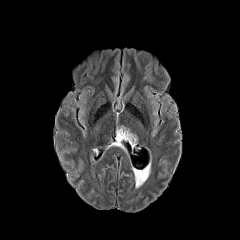
FLAIR MR image.
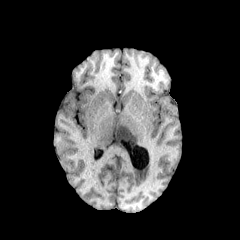
T1-weighted MR of the same slice.
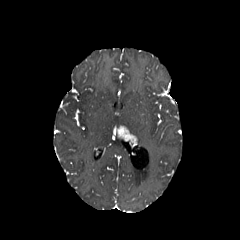
Post-contrast T1-weighted MR image.
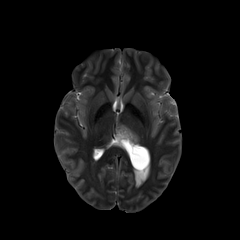
T2-weighted MR of the same slice.
240x240. Head.
enhancing tumor — bbox(116, 126, 137, 144)
peritumoral edema — bbox(112, 136, 122, 147)